FLAIR MR.
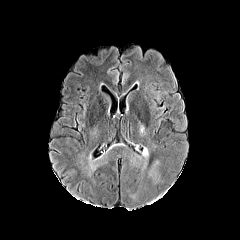
T1-weighted MRI.
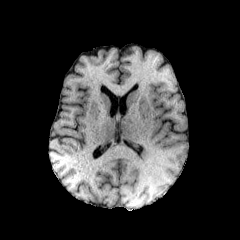
Post-contrast T1-weighted MR image.
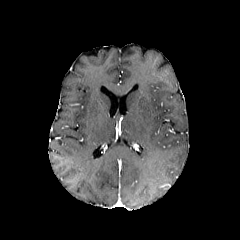
T2-weighted MR.
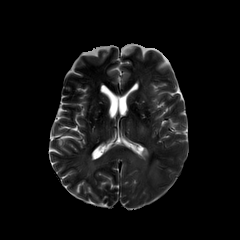
Head
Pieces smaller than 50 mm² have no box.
peritumoral edema: [142,147,148,157]